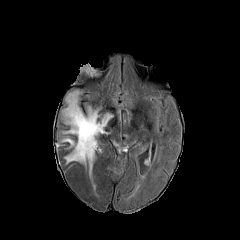
FLAIR MR image.
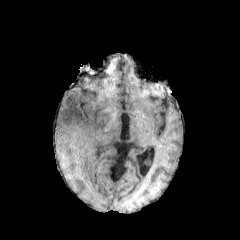
T1-weighted MR.
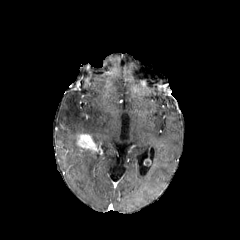
Same slice, post-contrast T1-weighted MR image.
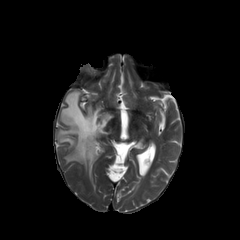
T2-weighted MR image.
Brain, Axial plane
enhancing_tumor:
  - 76, 134, 100, 153
peritumoral_edema:
  - 62, 138, 94, 175
  - 61, 90, 112, 144